FLAIR MRI.
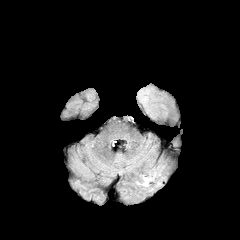
T1-weighted MR image.
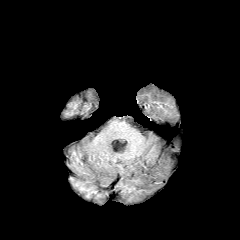
Post-contrast T1-weighted MR.
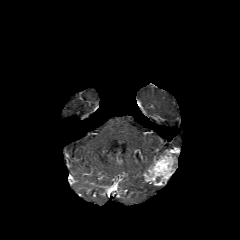
T2-weighted MRI.
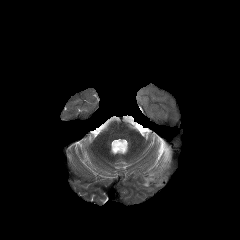
Brain, Image size 240x240
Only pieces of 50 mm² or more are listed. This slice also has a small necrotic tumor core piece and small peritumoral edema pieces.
{"enhancing_tumor": ["box=[143, 151, 175, 185]"]}